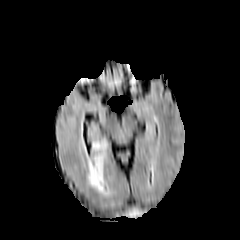
FLAIR MR.
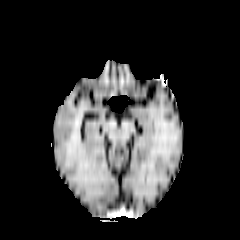
T1-weighted MRI of the same slice.
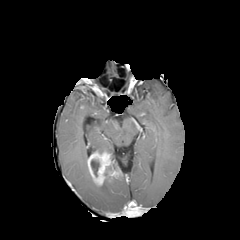
Same slice, post-contrast T1-weighted MR.
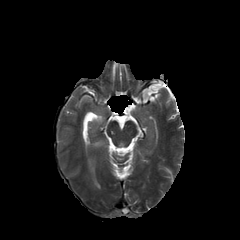
T2-weighted MR.
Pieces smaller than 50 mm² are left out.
<segmentation>
  <necrotic_tumor_core>rect(91, 160, 99, 176)</necrotic_tumor_core>
  <enhancing_tumor>rect(87, 151, 113, 185)</enhancing_tumor>
  <peritumoral_edema>rect(87, 169, 109, 194); rect(93, 140, 110, 153)</peritumoral_edema>
</segmentation>